FLAIR magnetic resonance.
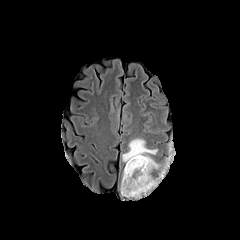
T1-weighted MR image.
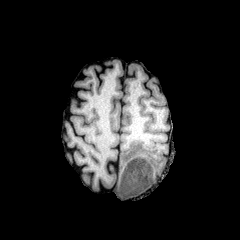
Post-contrast T1-weighted MR image.
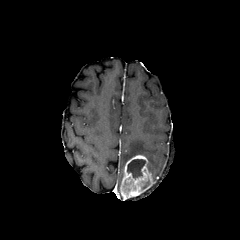
T2-weighted MR image.
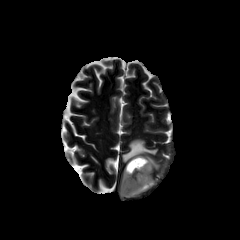
Axial slice | Head
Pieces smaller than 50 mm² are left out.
The largest necrotic tumor core region is at (left=127, top=159, right=145, bottom=178). The enhancing tumor lies within (left=120, top=155, right=155, bottom=198). The peritumoral edema appears at (left=122, top=138, right=160, bottom=170).